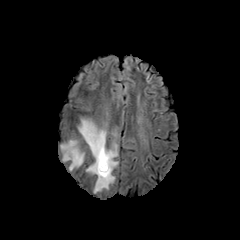
FLAIR magnetic resonance.
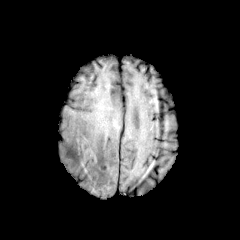
T1-weighted MRI.
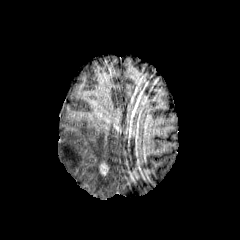
Post-contrast T1-weighted magnetic resonance.
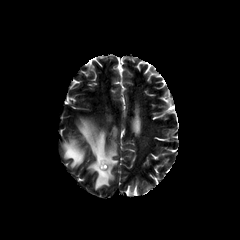
T2-weighted MRI.
Head. Axial slice.
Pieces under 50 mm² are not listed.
<segmentation>
  <peritumoral_edema>60:138:85:170, 78:118:118:192</peritumoral_edema>
  <enhancing_tumor>100:162:108:175</enhancing_tumor>
</segmentation>